FLAIR MR image.
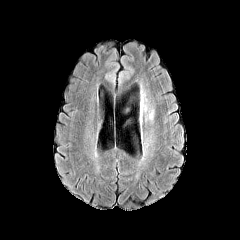
T1-weighted MRI.
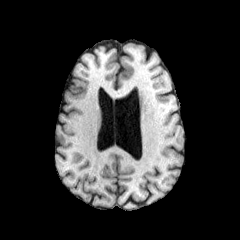
Post-contrast T1-weighted MR.
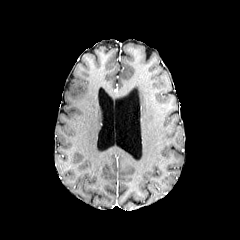
T2-weighted MR image.
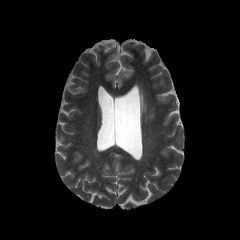
240x240. Axial slice. Head.
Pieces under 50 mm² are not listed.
peritumoral edema: bbox(141, 91, 145, 111)